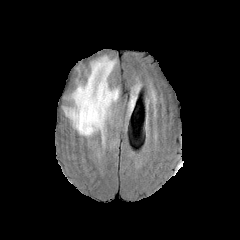
FLAIR MR.
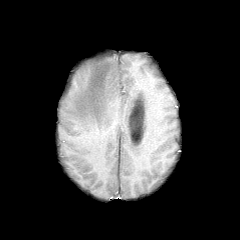
T1-weighted MRI.
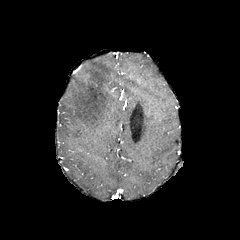
Post-contrast T1-weighted MR.
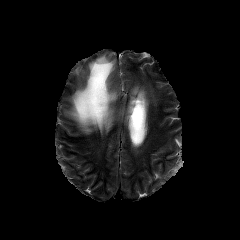
T2-weighted MR image.
Axial plane. Brain.
{"peritumoral_edema": ["x1=64 y1=56 x2=141 y2=141"]}